Brain
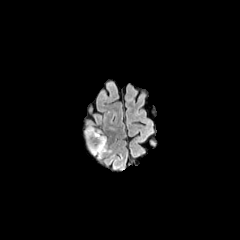
FLAIR magnetic resonance.
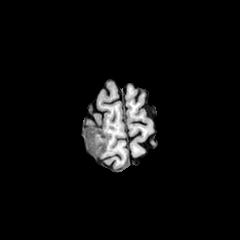
T1-weighted magnetic resonance of the same slice.
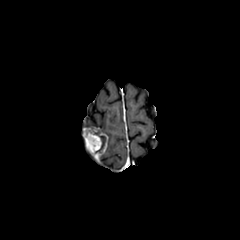
Post-contrast T1-weighted MR.
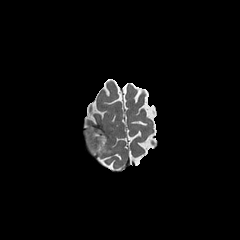
T2-weighted MRI of the same slice.
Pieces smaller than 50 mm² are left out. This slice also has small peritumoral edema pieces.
* enhancing tumor: region(86, 130, 108, 157)
* necrotic tumor core: region(95, 136, 105, 152)